Head. 240x240 px. Slice index 76.
FLAIR MR.
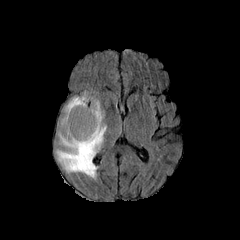
T1-weighted magnetic resonance.
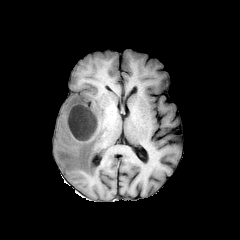
Post-contrast T1-weighted MR image.
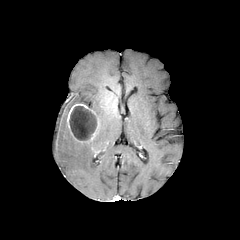
T2-weighted MR.
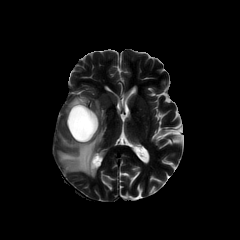
The enhancing tumor appears at 67 103 98 142. The necrotic tumor core is bounded by 69 106 96 140. The peritumoral edema is at 56 94 106 178.